Axial view
FLAIR MR image.
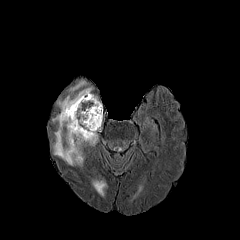
T1-weighted MRI.
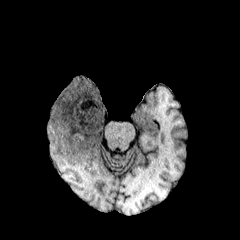
Post-contrast T1-weighted magnetic resonance.
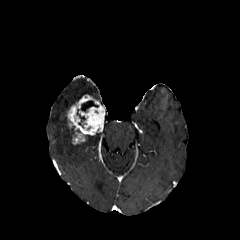
T2-weighted MR image.
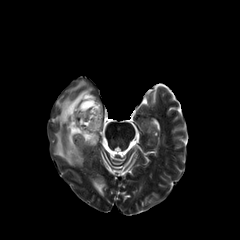
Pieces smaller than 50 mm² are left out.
The largest necrotic tumor core region appears at [81,101,98,111]. The enhancing tumor lies within [65,94,105,144]. 2 peritumoral edema regions are bounded by [92,179,106,195], [52,80,98,166].